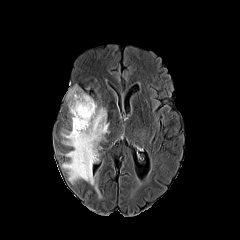
FLAIR MRI.
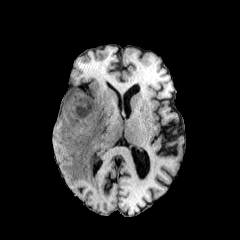
T1-weighted magnetic resonance.
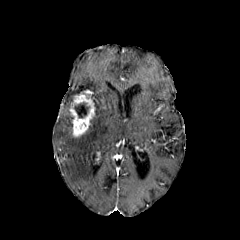
Post-contrast T1-weighted MR.
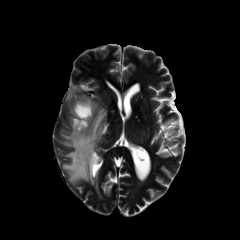
T2-weighted magnetic resonance of the same slice.
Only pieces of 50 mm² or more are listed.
Annotated regions:
* necrotic tumor core: 74,103,89,117
* enhancing tumor: 69,93,95,137
* peritumoral edema: 66,86,82,107; 61,101,109,190